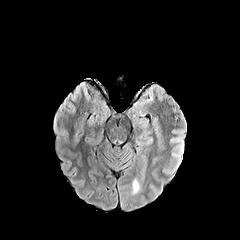
FLAIR MR image.
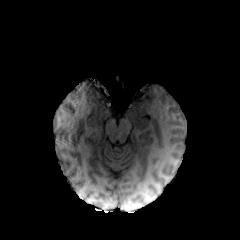
Same slice, T1-weighted MRI.
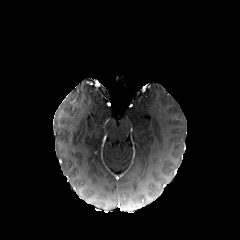
Post-contrast T1-weighted magnetic resonance.
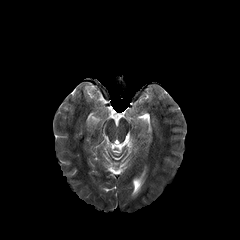
T2-weighted MR image.
Head
<segmentation>
  <peritumoral_edema>region(130, 177, 142, 195)</peritumoral_edema>
</segmentation>